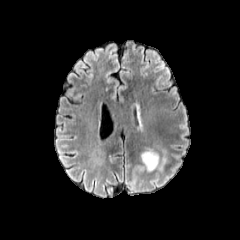
FLAIR magnetic resonance.
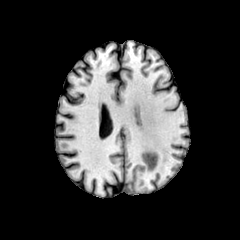
Same slice, T1-weighted MR.
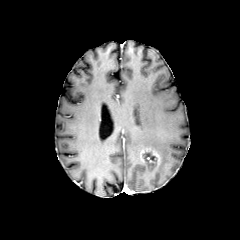
Post-contrast T1-weighted MRI of the same slice.
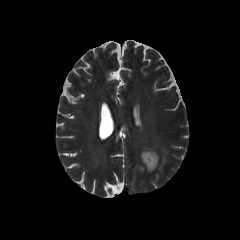
T2-weighted MR.
Brain
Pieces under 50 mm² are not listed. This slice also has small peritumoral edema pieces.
<segmentation>
  <necrotic_tumor_core>region(145, 153, 156, 165)</necrotic_tumor_core>
  <enhancing_tumor>region(141, 149, 159, 170)</enhancing_tumor>
</segmentation>